Axial slice, Image width 240 mm, 1.00 mm slice spacing
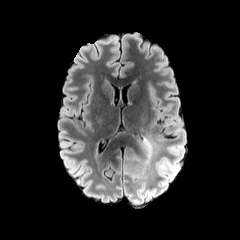
FLAIR MR.
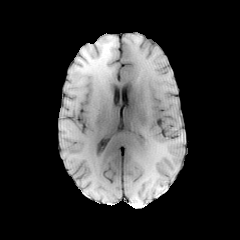
T1-weighted magnetic resonance.
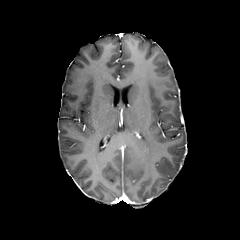
Post-contrast T1-weighted MRI of the same slice.
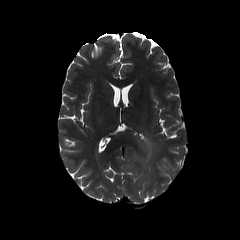
T2-weighted MRI.
peritumoral edema: bbox=[158, 160, 172, 175]; bbox=[125, 138, 152, 191]